FLAIR magnetic resonance.
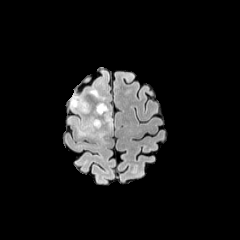
T1-weighted MRI.
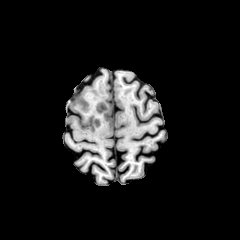
Post-contrast T1-weighted MR image.
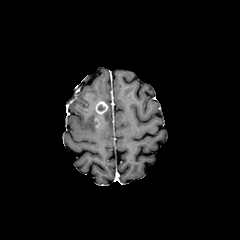
T2-weighted MRI.
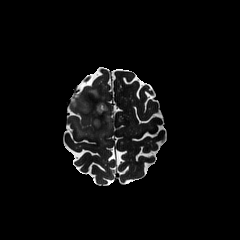
Axial view
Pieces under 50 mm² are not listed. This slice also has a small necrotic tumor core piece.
enhancing tumor: x1=94 y1=117 x2=102 y2=127, x1=95 y1=101 x2=108 y2=115 | peritumoral edema: x1=77 y1=117 x2=106 y2=138, x1=89 y1=89 x2=105 y2=101, x1=70 y1=93 x2=90 y2=113, x1=104 y1=106 x2=111 y2=126